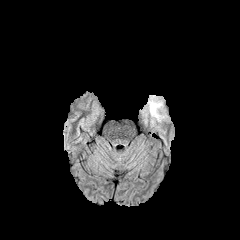
FLAIR MRI.
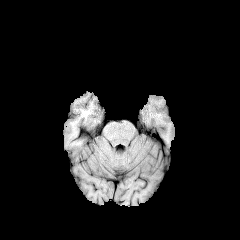
T1-weighted MR image.
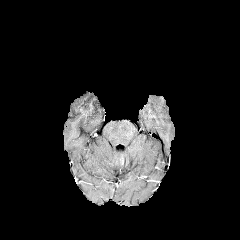
Post-contrast T1-weighted MRI.
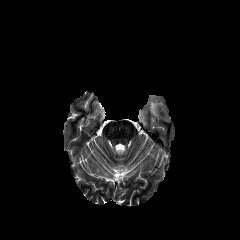
T2-weighted magnetic resonance.
Head | Axial plane | 240x240 px
The peritumoral edema is bounded by 145,95,166,123.